Image width 240 mm. Axial plane.
FLAIR MR.
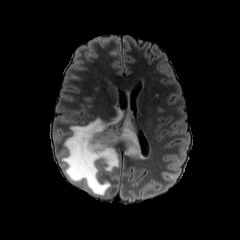
T1-weighted MR image.
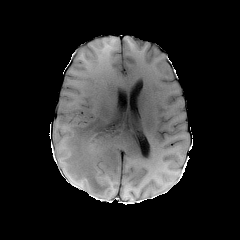
Post-contrast T1-weighted MRI.
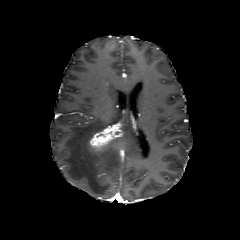
T2-weighted MR image.
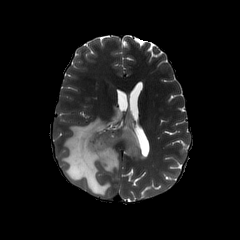
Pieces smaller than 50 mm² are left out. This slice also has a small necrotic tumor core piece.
peritumoral edema — {"x1": 61, "y1": 107, "x2": 140, "y2": 195}
enhancing tumor — {"x1": 89, "y1": 125, "x2": 122, "y2": 151}